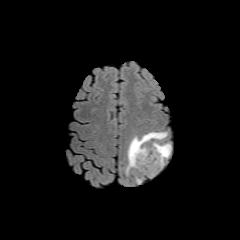
FLAIR MR.
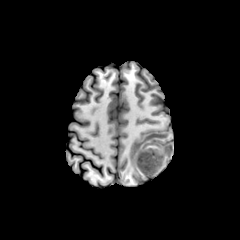
Same slice, T1-weighted MR.
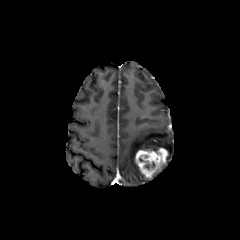
Post-contrast T1-weighted MRI.
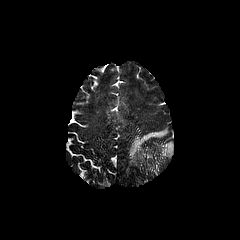
T2-weighted magnetic resonance.
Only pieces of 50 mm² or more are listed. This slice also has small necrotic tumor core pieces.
{"enhancing_tumor": ["box=[134, 145, 168, 179]"], "peritumoral_edema": ["box=[126, 132, 166, 173]", "box=[153, 142, 171, 155]"]}